Brain | Axial slice | Slice 85 of 155 | Image covers 240 mm x 240 mm
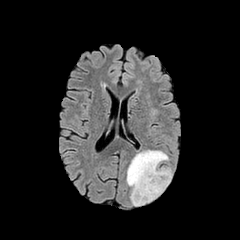
FLAIR magnetic resonance.
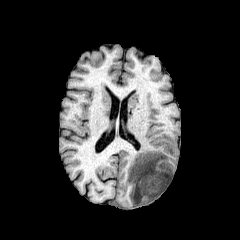
T1-weighted magnetic resonance.
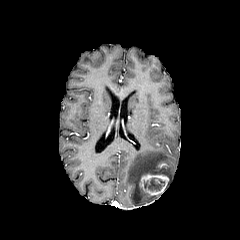
Same slice, post-contrast T1-weighted MR image.
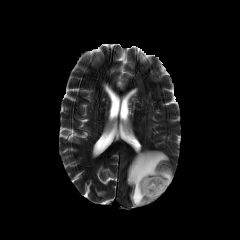
T2-weighted MR.
peritumoral edema: l=127, t=150, r=172, b=205
enhancing tumor: l=139, t=174, r=168, b=196
necrotic tumor core: l=144, t=178, r=164, b=191